Slice 97/155; Head
FLAIR MR image.
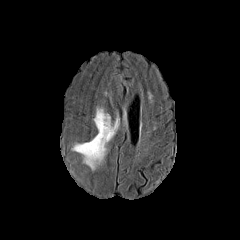
T1-weighted MR image.
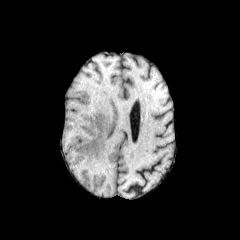
Post-contrast T1-weighted MR.
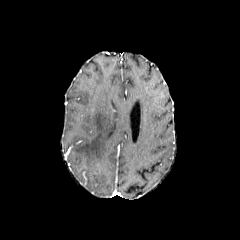
T2-weighted MRI.
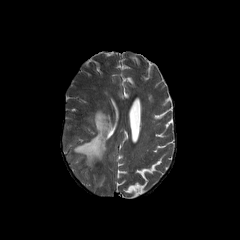
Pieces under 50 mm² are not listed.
peritumoral edema: box=[73, 108, 114, 169]